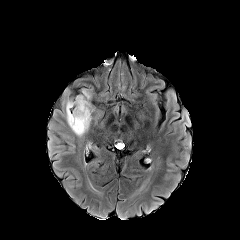
FLAIR MRI.
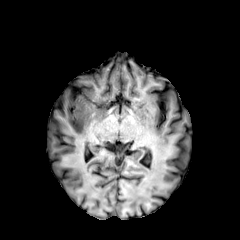
T1-weighted MR.
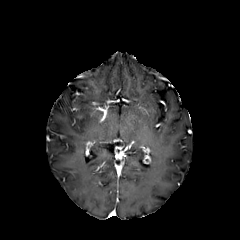
Post-contrast T1-weighted MRI.
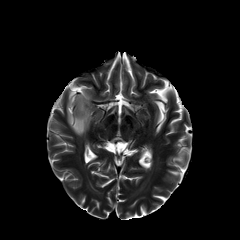
T2-weighted magnetic resonance.
Axial view.
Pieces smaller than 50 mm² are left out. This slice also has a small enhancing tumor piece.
• peritumoral edema: (x1=66, y1=89, x2=92, y2=136)